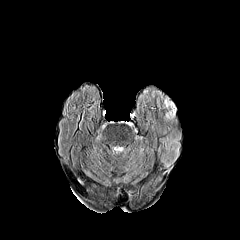
FLAIR magnetic resonance.
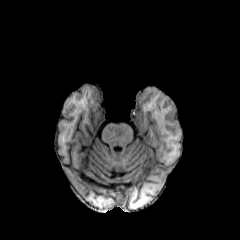
Same slice, T1-weighted MR.
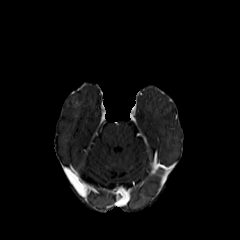
Post-contrast T1-weighted MRI of the same slice.
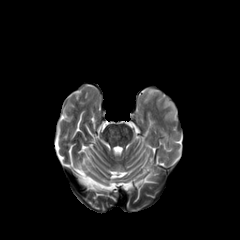
Same slice, T2-weighted MRI.
Axial plane
{"peritumoral_edema": ["region(162, 97, 176, 120)"]}